Head
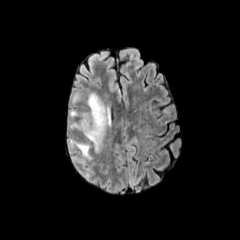
FLAIR magnetic resonance.
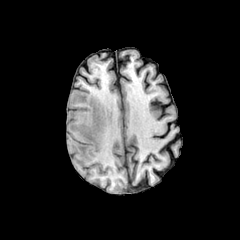
T1-weighted MRI of the same slice.
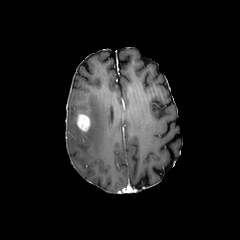
Post-contrast T1-weighted MRI of the same slice.
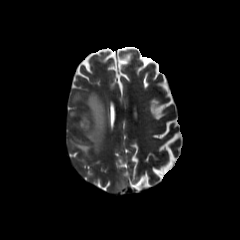
T2-weighted MRI of the same slice.
• enhancing tumor: [76,113,90,132]
• peritumoral edema: [69,110,77,118], [82,93,111,153], [69,138,90,157], [70,121,81,131], [72,93,81,102]